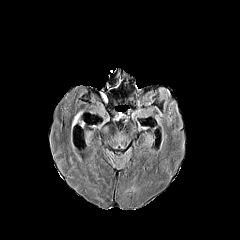
FLAIR MR.
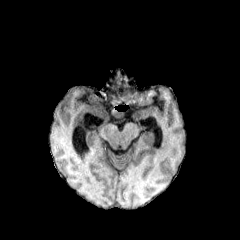
Same slice, T1-weighted MRI.
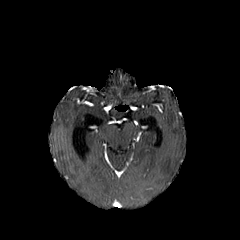
Same slice, post-contrast T1-weighted MR image.
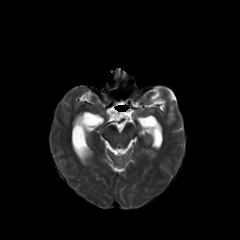
T2-weighted magnetic resonance.
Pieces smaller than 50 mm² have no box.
peritumoral edema: 72, 113, 81, 126